Image covers 240 mm x 240 mm, Axial plane, Slice 88 of 155, Head
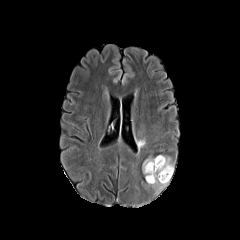
FLAIR MR image.
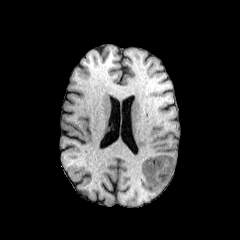
T1-weighted MRI of the same slice.
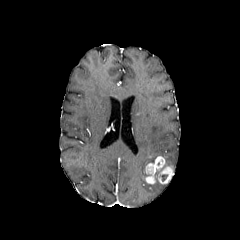
Post-contrast T1-weighted magnetic resonance of the same slice.
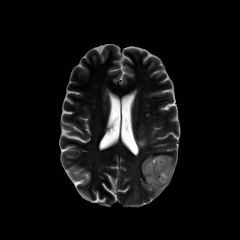
T2-weighted MR of the same slice.
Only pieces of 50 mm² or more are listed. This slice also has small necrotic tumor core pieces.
Annotated regions:
• enhancing tumor: box=[145, 156, 173, 184]
• peritumoral edema: box=[158, 155, 174, 168]; box=[137, 140, 145, 150]; box=[142, 156, 156, 177]; box=[147, 178, 167, 194]